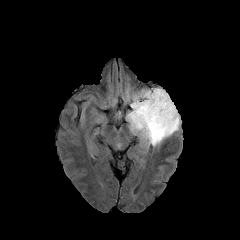
FLAIR MR image.
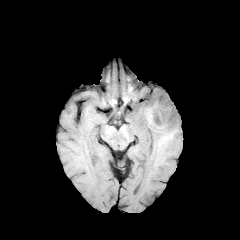
T1-weighted MRI of the same slice.
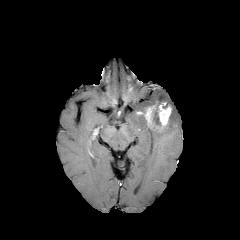
Post-contrast T1-weighted magnetic resonance.
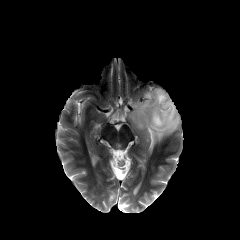
T2-weighted MR.
240x240. Brain.
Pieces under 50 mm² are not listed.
The enhancing tumor lies within x1=136, y1=100, x2=172, y2=130. The 2 largest peritumoral edema regions are bounded by x1=153, y1=109, x2=160, y2=125; x1=126, y1=88, x2=180, y2=147.